Axial view | Slice index 57
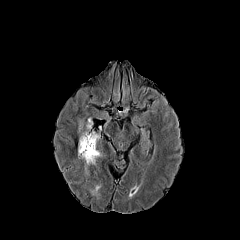
FLAIR MR.
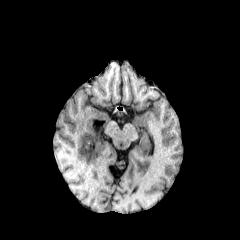
T1-weighted magnetic resonance.
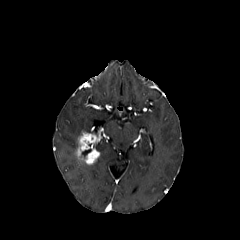
Post-contrast T1-weighted MR image.
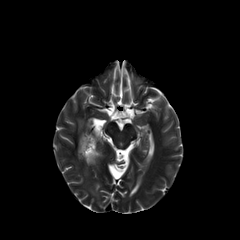
T2-weighted MR image of the same slice.
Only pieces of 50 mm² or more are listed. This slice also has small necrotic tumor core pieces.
peritumoral edema at box(85, 119, 92, 131); box(79, 120, 83, 133)
enhancing tumor at box(76, 132, 100, 164)